Axial plane | Image size 240x240 | Slice index 41 | Image width 240 mm, 1.00 mm slice spacing
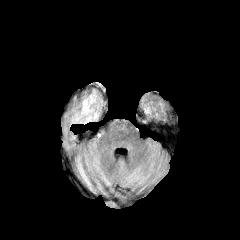
FLAIR magnetic resonance.
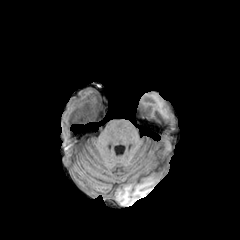
T1-weighted MR of the same slice.
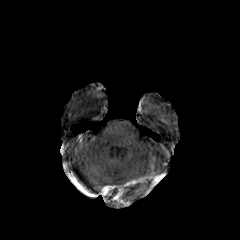
Same slice, post-contrast T1-weighted magnetic resonance.
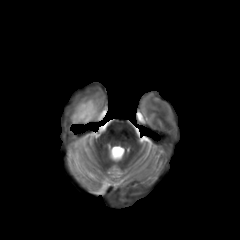
T2-weighted magnetic resonance of the same slice.
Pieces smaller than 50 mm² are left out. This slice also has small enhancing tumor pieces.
The largest necrotic tumor core region appears at 73:112:89:124. The peritumoral edema lies within 71:90:100:121.